240x240
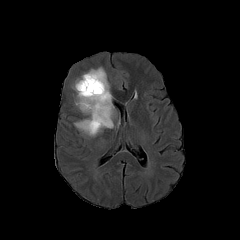
FLAIR magnetic resonance.
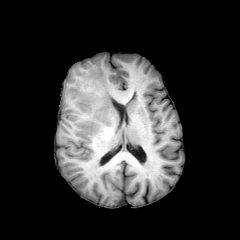
Same slice, T1-weighted magnetic resonance.
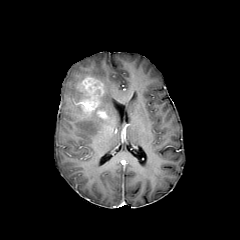
Post-contrast T1-weighted MR of the same slice.
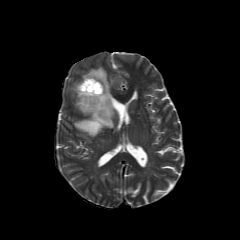
T2-weighted MR.
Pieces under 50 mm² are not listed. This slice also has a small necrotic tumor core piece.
peritumoral_edema:
  - 74, 67, 113, 136
enhancing_tumor:
  - 97, 110, 107, 119
  - 76, 76, 104, 114